Axial view
FLAIR MRI.
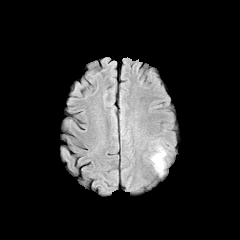
T1-weighted MR.
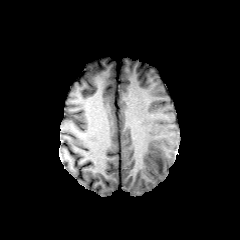
Post-contrast T1-weighted magnetic resonance.
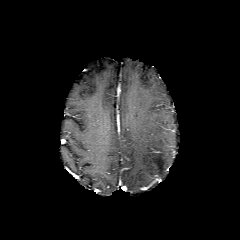
T2-weighted MRI.
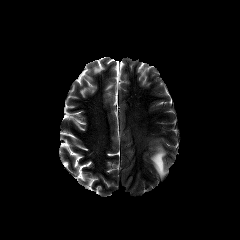
The peritumoral edema appears at left=151, top=146, right=165, bottom=175.